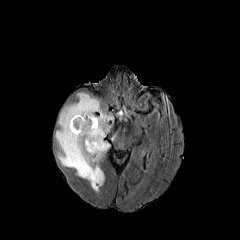
FLAIR MRI.
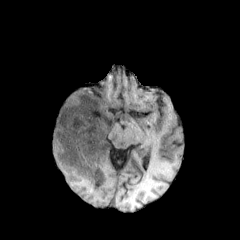
T1-weighted MRI.
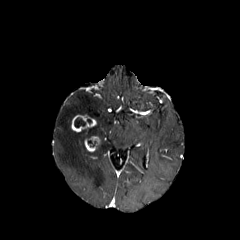
Post-contrast T1-weighted MR.
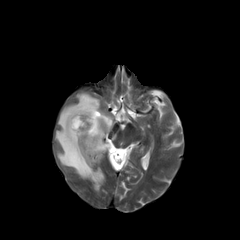
T2-weighted MR image.
240x240; Axial plane; Brain
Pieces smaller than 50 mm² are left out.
The largest peritumoral edema region appears at [55, 92, 113, 191]. 2 enhancing tumor regions are located at [84, 136, 100, 151], [71, 114, 96, 131]. The largest necrotic tumor core region lies within [74, 117, 85, 127].